Slice index 80 | Axial plane | Image covers 240 mm x 240 mm | Head | 240x240 px
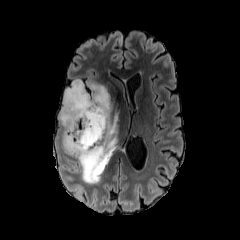
FLAIR MR.
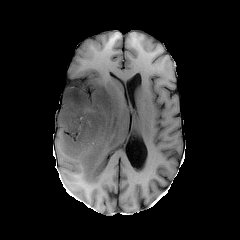
T1-weighted MRI.
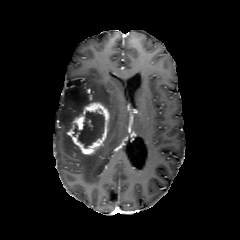
Post-contrast T1-weighted magnetic resonance.
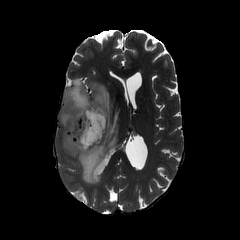
T2-weighted MRI.
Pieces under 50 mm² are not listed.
The peritumoral edema lies within [58, 80, 118, 184]. The largest necrotic tumor core region is at [73, 111, 104, 147]. The largest enhancing tumor region lies within [68, 101, 109, 155].